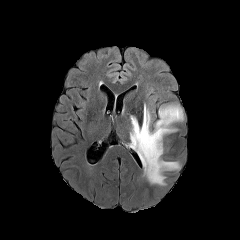
FLAIR magnetic resonance.
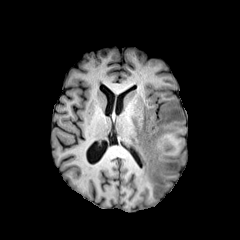
T1-weighted MR image.
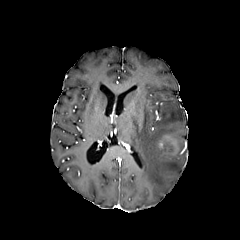
Post-contrast T1-weighted MR image.
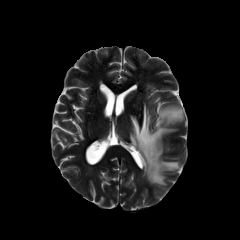
T2-weighted magnetic resonance of the same slice.
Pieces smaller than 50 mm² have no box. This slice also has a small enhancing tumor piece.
peritumoral edema: (left=130, top=104, right=183, bottom=185)